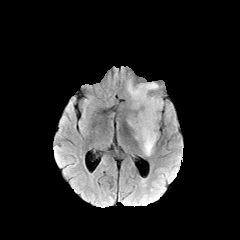
FLAIR MR.
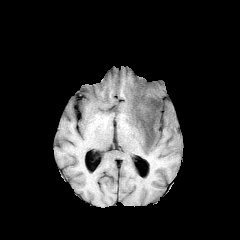
Same slice, T1-weighted MR.
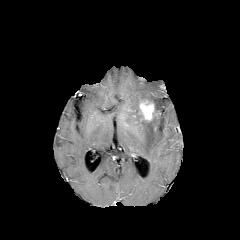
Post-contrast T1-weighted MR image of the same slice.
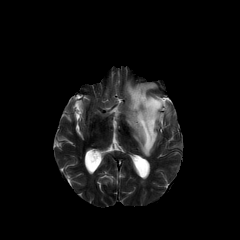
Same slice, T2-weighted MR image.
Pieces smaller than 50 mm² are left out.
enhancing tumor = [x1=139, y1=99, x2=158, y2=121]
peritumoral edema = [x1=126, y1=82, x2=163, y2=156]